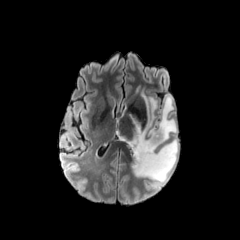
FLAIR magnetic resonance.
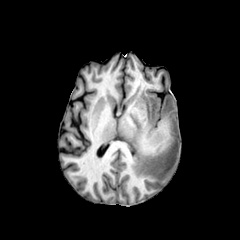
T1-weighted MR image.
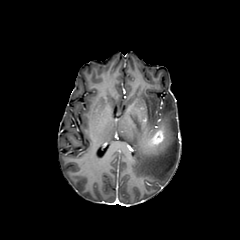
Post-contrast T1-weighted MR.
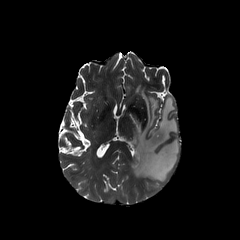
T2-weighted MRI.
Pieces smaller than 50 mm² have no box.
<segmentation>
  <enhancing_tumor>146 125 165 148</enhancing_tumor>
  <peritumoral_edema>119 93 178 184</peritumoral_edema>
</segmentation>